FLAIR MR.
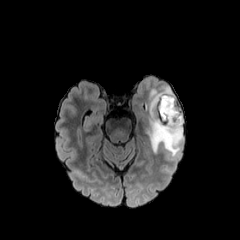
T1-weighted MR.
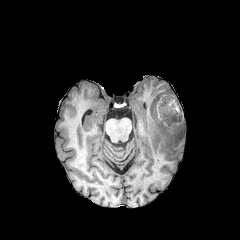
Post-contrast T1-weighted MRI.
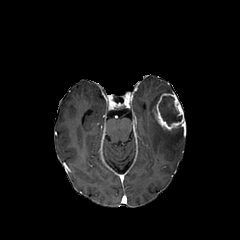
T2-weighted MRI.
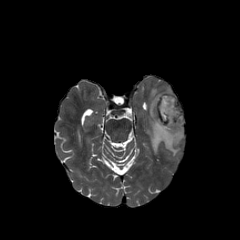
Head.
enhancing tumor: bounding box 152 93 184 130
peritumoral edema: bounding box 146 87 183 157
necrotic tumor core: bounding box 158 96 182 126